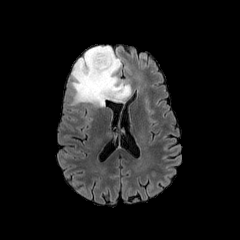
FLAIR MR.
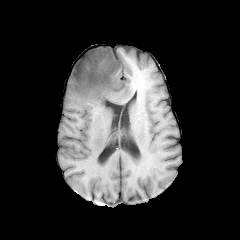
T1-weighted MR of the same slice.
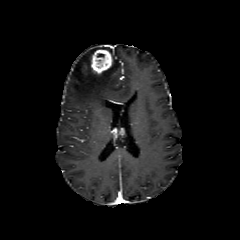
Same slice, post-contrast T1-weighted MR.
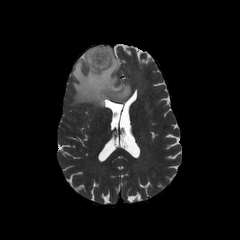
T2-weighted magnetic resonance.
Brain.
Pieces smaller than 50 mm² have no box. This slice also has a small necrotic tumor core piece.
The peritumoral edema is located at (x1=70, y1=46, x2=130, y2=107). The enhancing tumor lies within (x1=91, y1=50, x2=112, y2=74).